FLAIR MR image.
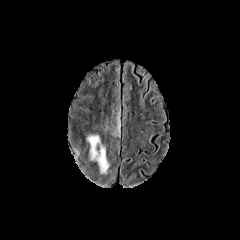
T1-weighted magnetic resonance.
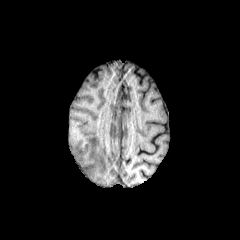
Post-contrast T1-weighted MR.
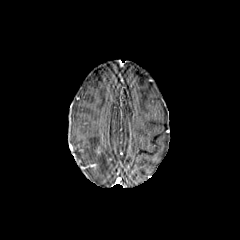
T2-weighted magnetic resonance.
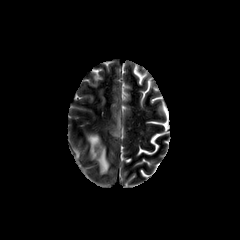
Brain
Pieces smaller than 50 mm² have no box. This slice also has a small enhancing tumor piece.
The 2 largest peritumoral edema regions appear at [x1=114, y1=116, x2=120, y2=135], [x1=87, y1=134, x2=109, y2=173].